FLAIR MR image.
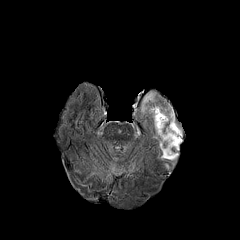
T1-weighted MRI.
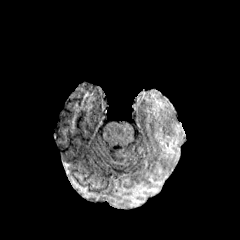
Post-contrast T1-weighted MR.
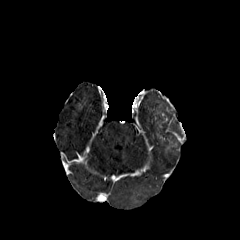
T2-weighted MR image.
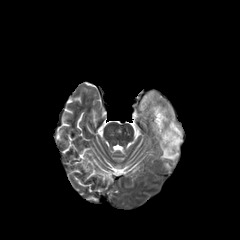
Head; Image size 240x240
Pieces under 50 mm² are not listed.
The 2 largest necrotic tumor core regions are located at bbox(162, 128, 178, 146); bbox(170, 121, 182, 136). The largest enhancing tumor region appears at bbox(166, 128, 182, 142). The 3 largest peritumoral edema regions are located at bbox(155, 120, 161, 135); bbox(160, 142, 178, 159); bbox(155, 106, 161, 119).